240x240. Brain.
FLAIR MR image.
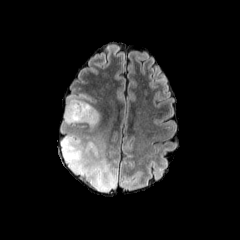
T1-weighted MR.
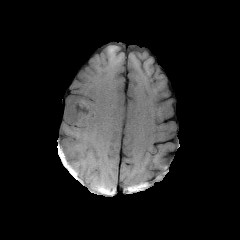
Post-contrast T1-weighted MR.
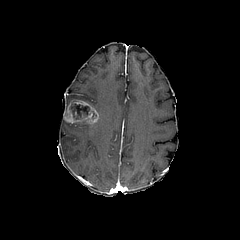
T2-weighted MR image.
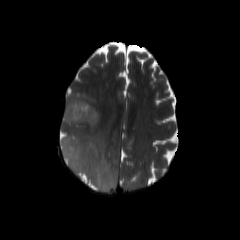
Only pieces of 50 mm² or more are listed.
peritumoral edema = {"x1": 61, "y1": 134, "x2": 117, "y2": 191}, {"x1": 65, "y1": 95, "x2": 101, "y2": 127}
enhancing tumor = {"x1": 64, "y1": 98, "x2": 98, "y2": 123}
necrotic tumor core = {"x1": 70, "y1": 103, "x2": 89, "y2": 119}